Axial view.
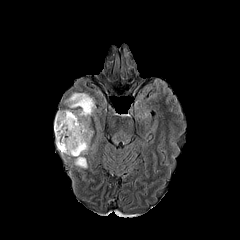
FLAIR MR.
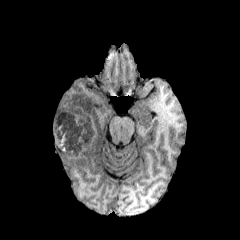
Same slice, T1-weighted MRI.
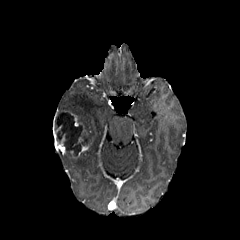
Post-contrast T1-weighted magnetic resonance.
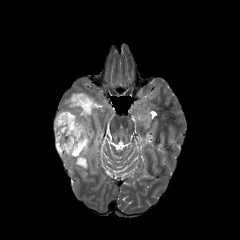
T2-weighted MRI.
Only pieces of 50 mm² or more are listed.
Annotated regions:
• peritumoral edema: 68 154 87 168, 54 93 94 144
• enhancing tumor: 78 145 89 156, 70 112 78 126, 54 126 65 154
• necrotic tumor core: 55 113 90 155